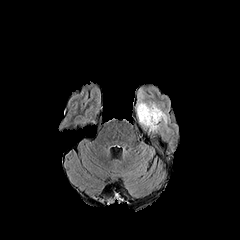
FLAIR MR image.
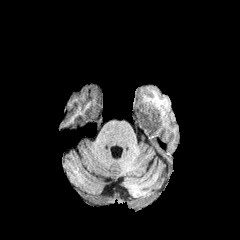
T1-weighted MRI.
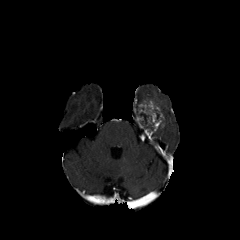
Post-contrast T1-weighted MR image.
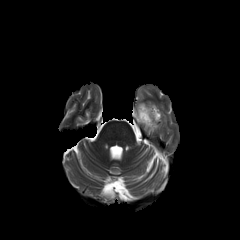
T2-weighted magnetic resonance.
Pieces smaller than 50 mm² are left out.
2 peritumoral edema regions appear at (137, 91, 143, 108), (161, 111, 167, 125). The largest necrotic tumor core region lies within (138, 112, 153, 130). The largest enhancing tumor region is located at (138, 101, 164, 131).